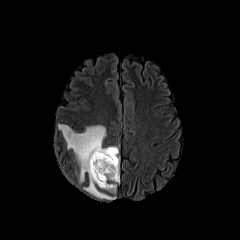
FLAIR MR.
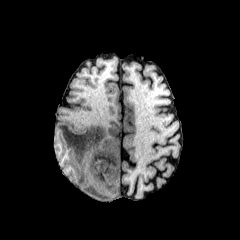
T1-weighted magnetic resonance.
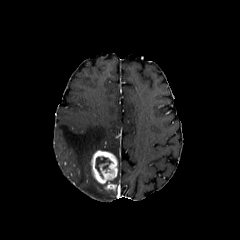
Post-contrast T1-weighted MR image.
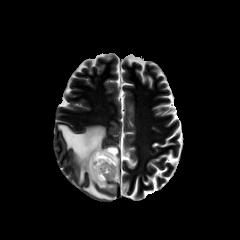
Same slice, T2-weighted MR image.
Head. Axial slice.
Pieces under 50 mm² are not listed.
peritumoral edema: region(58, 124, 119, 199) | necrotic tumor core: region(95, 157, 110, 177) | enhancing tumor: region(90, 150, 118, 191)